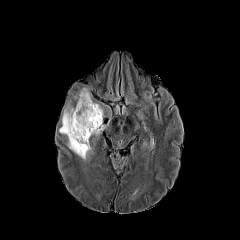
FLAIR MR image.
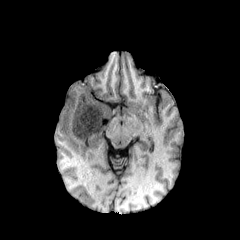
Same slice, T1-weighted MR image.
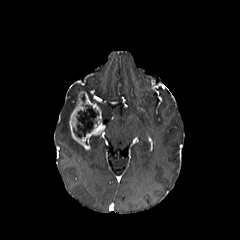
Post-contrast T1-weighted MRI.
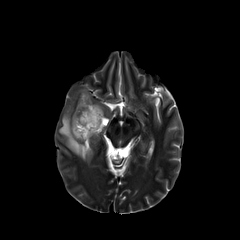
Same slice, T2-weighted MR.
Head; Axial plane; 240x240
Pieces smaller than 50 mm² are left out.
enhancing tumor = [69, 91, 105, 149]
peritumoral edema = [59, 104, 91, 160]
necrotic tumor core = [73, 93, 99, 138]